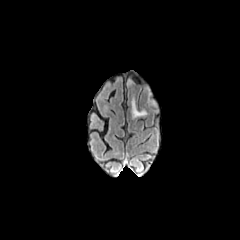
FLAIR magnetic resonance.
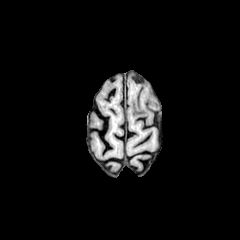
T1-weighted MR.
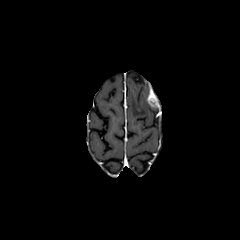
Post-contrast T1-weighted magnetic resonance of the same slice.
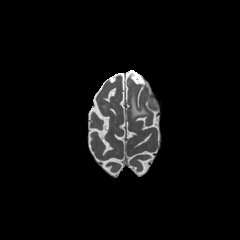
Same slice, T2-weighted MRI.
240x240
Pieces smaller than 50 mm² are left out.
Segmented structures:
- peritumoral edema: bbox(131, 94, 147, 118)
- enhancing tumor: bbox(146, 88, 159, 108)